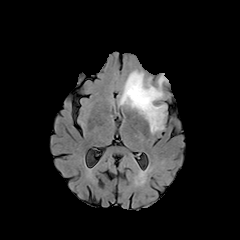
FLAIR magnetic resonance.
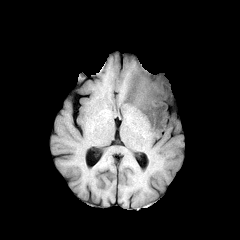
T1-weighted magnetic resonance.
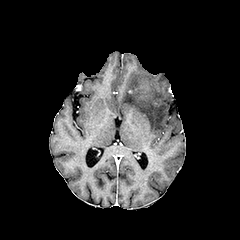
Post-contrast T1-weighted magnetic resonance of the same slice.
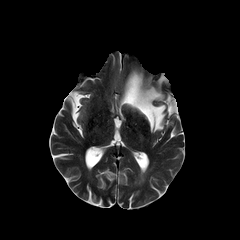
T2-weighted magnetic resonance of the same slice.
Head | Axial view
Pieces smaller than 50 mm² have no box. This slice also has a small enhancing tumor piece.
The peritumoral edema is bounded by [x1=120, y1=70, x2=166, y2=132].